FLAIR magnetic resonance.
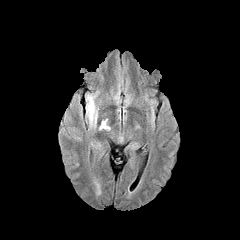
T1-weighted MRI.
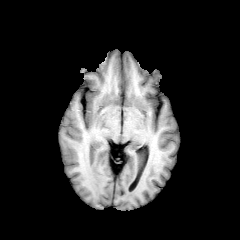
Post-contrast T1-weighted MR image.
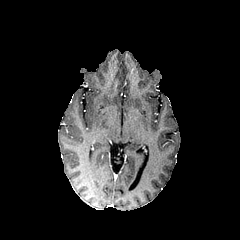
T2-weighted MRI.
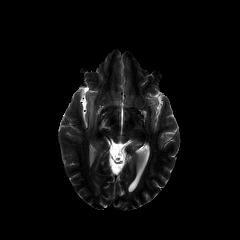
* peritumoral edema: 87,96,97,124; 100,120,109,129